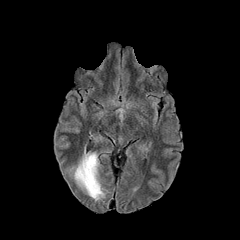
FLAIR magnetic resonance.
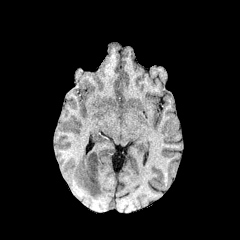
T1-weighted magnetic resonance of the same slice.
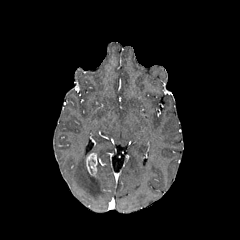
Post-contrast T1-weighted MR.
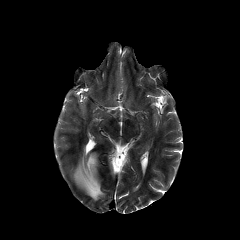
T2-weighted magnetic resonance.
Axial slice
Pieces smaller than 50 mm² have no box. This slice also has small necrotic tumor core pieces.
The enhancing tumor is at [86,153,97,176]. The peritumoral edema is located at [72,150,105,200].